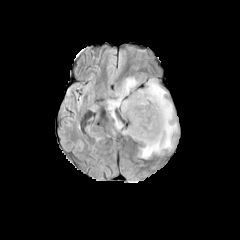
FLAIR magnetic resonance.
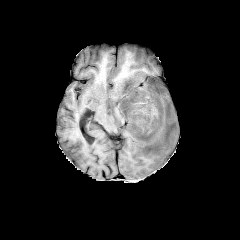
T1-weighted MRI.
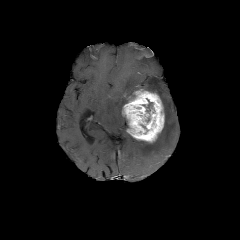
Post-contrast T1-weighted magnetic resonance.
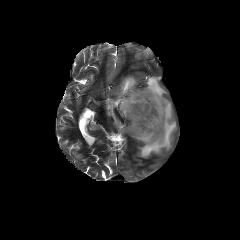
Same slice, T2-weighted MRI.
Axial slice
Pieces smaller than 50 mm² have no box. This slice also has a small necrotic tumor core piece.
enhancing tumor: bounding box <box>122,89,164,142</box>
peritumoral edema: bounding box <box>139,78,177,158</box>, <box>107,77,138,129</box>